Axial slice | Slice 66 of 155 | Image width 240 mm, 1.00 mm slice spacing
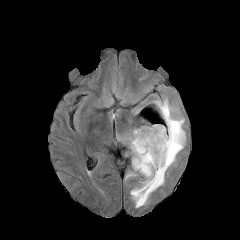
FLAIR MR image.
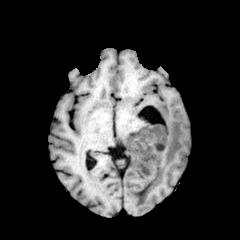
T1-weighted MRI of the same slice.
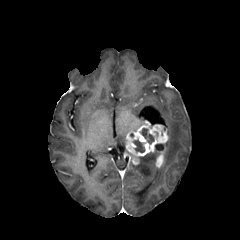
Post-contrast T1-weighted MR of the same slice.
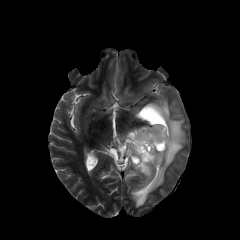
Same slice, T2-weighted MR image.
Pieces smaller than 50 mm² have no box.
necrotic tumor core = 141,128,154,143; 133,140,144,152
enhancing tumor = 125,124,168,164; 155,149,164,167
peritumoral edema = 125,172,136,179; 130,98,185,207